FLAIR MRI.
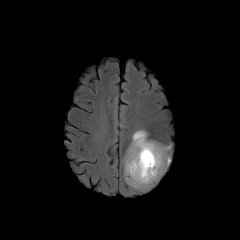
T1-weighted MR.
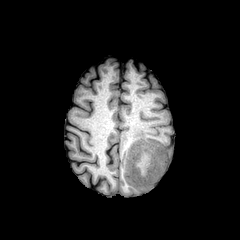
Post-contrast T1-weighted MR image.
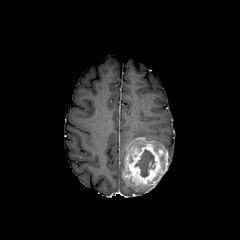
T2-weighted magnetic resonance.
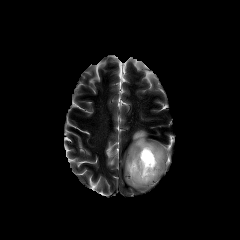
240x240 px
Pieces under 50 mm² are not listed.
Annotated regions:
* enhancing tumor: 123 137 168 187
* peritumoral edema: 127 183 151 190, 125 130 153 156
* necrotic tumor core: 135 150 154 177